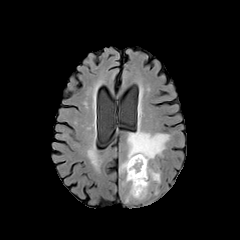
FLAIR magnetic resonance.
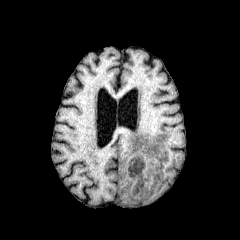
T1-weighted MR of the same slice.
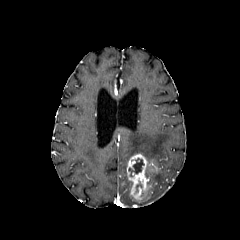
Same slice, post-contrast T1-weighted MR image.
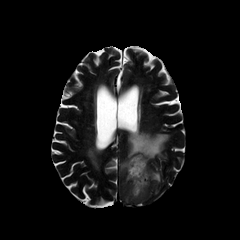
T2-weighted MR image.
Brain; 240x240 px
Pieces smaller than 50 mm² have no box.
The largest necrotic tumor core region appears at (left=129, top=158, right=144, bottom=176). The 2 largest peritumoral edema regions are located at (left=120, top=128, right=169, bottom=172), (left=147, top=167, right=160, bottom=182). The largest enhancing tumor region is at (left=126, top=153, right=150, bottom=200).